FLAIR MR.
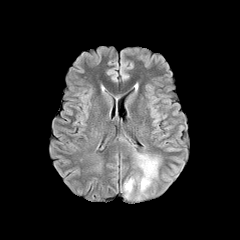
T1-weighted magnetic resonance.
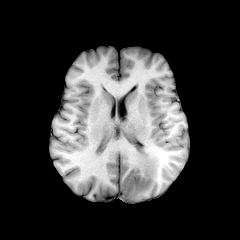
Post-contrast T1-weighted MRI.
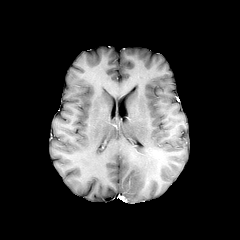
T2-weighted MRI.
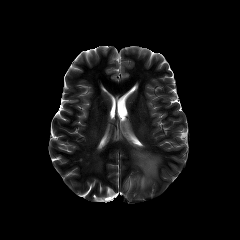
Head, Axial slice, Image size 240x240
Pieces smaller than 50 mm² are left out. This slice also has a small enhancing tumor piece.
The peritumoral edema appears at (124, 153, 159, 197).